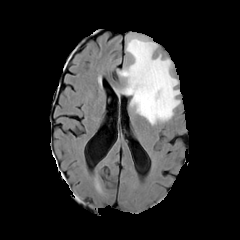
FLAIR MRI.
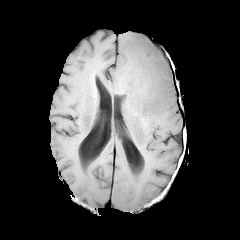
T1-weighted MR image of the same slice.
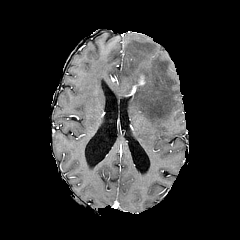
Post-contrast T1-weighted MRI.
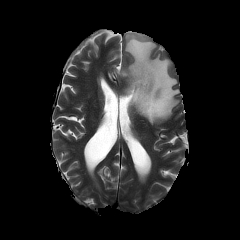
T2-weighted MRI of the same slice.
Head; Axial view
The enhancing tumor lies within region(129, 74, 145, 94). The peritumoral edema is located at region(117, 34, 177, 124).